Brain; Axial view
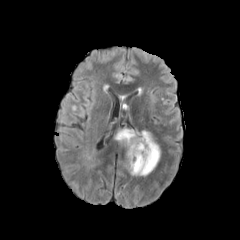
FLAIR MR image.
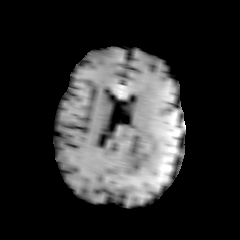
Same slice, T1-weighted MR image.
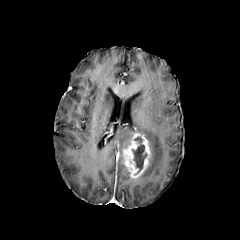
Post-contrast T1-weighted magnetic resonance.
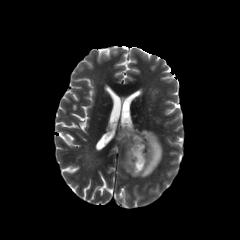
T2-weighted MR image.
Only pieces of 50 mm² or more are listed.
Findings:
• enhancing tumor: box(123, 133, 152, 178)
• peritumoral edema: box(140, 130, 161, 177); box(116, 128, 132, 145)
• necrotic tumor core: box(132, 144, 146, 173)